FLAIR MR.
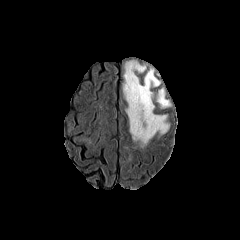
T1-weighted magnetic resonance.
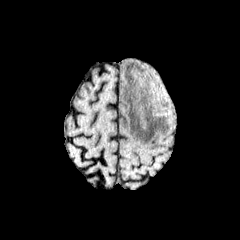
Post-contrast T1-weighted magnetic resonance.
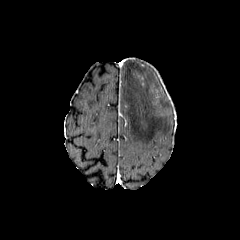
T2-weighted magnetic resonance.
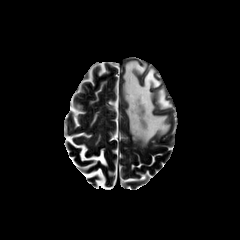
Brain
peritumoral edema: [x1=156, y1=88, x2=171, y2=108], [x1=123, y1=61, x2=169, y2=147]